FLAIR magnetic resonance.
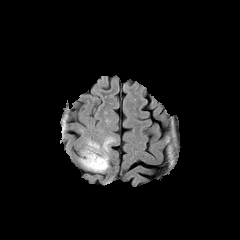
T1-weighted magnetic resonance.
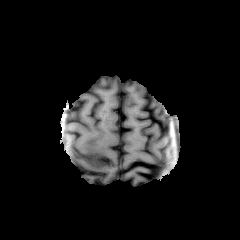
Post-contrast T1-weighted MR image.
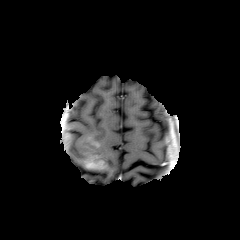
T2-weighted MR.
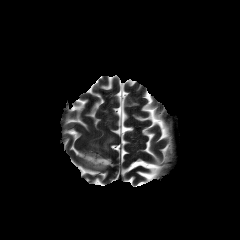
Axial plane; Brain
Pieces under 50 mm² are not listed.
peritumoral edema: <bbox>80, 136, 114, 171</bbox> | enhancing tumor: <bbox>84, 154, 106, 169</bbox>